Image size 240x240; Head; Axial plane
FLAIR MR.
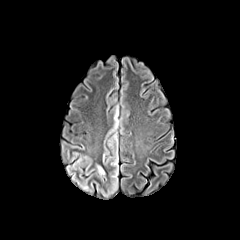
T1-weighted MR.
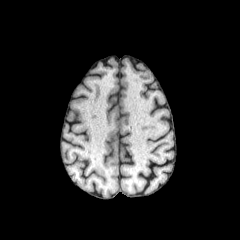
Post-contrast T1-weighted magnetic resonance.
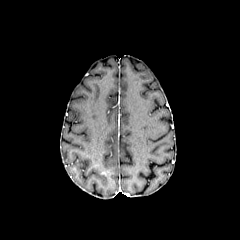
T2-weighted MRI.
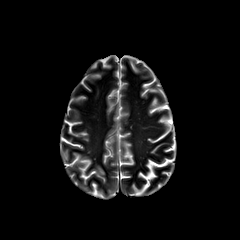
The peritumoral edema lies within x1=97 y1=166 x2=104 y2=174.